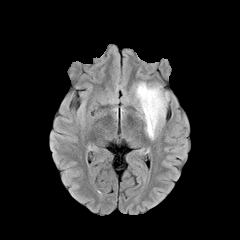
FLAIR MRI.
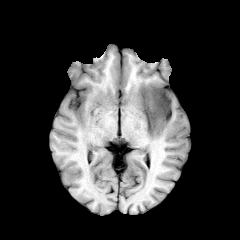
T1-weighted magnetic resonance.
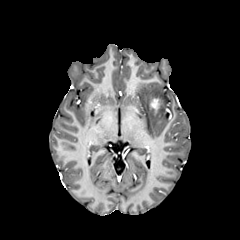
Post-contrast T1-weighted MR of the same slice.
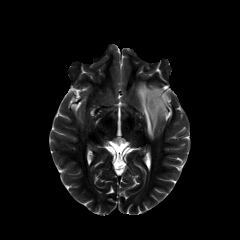
T2-weighted MRI.
peritumoral edema: x1=135 y1=82 x2=169 y2=139
enhancing tumor: x1=150 y1=98 x2=161 y2=112